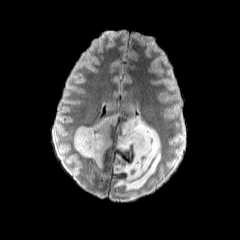
FLAIR MR image.
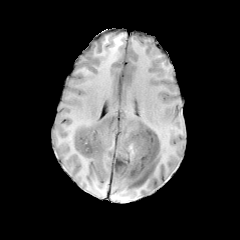
T1-weighted MR image of the same slice.
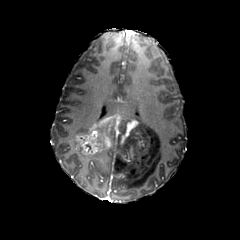
Post-contrast T1-weighted MRI.
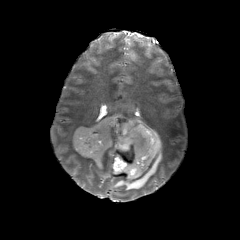
T2-weighted magnetic resonance of the same slice.
Head
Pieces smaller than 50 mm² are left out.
The 2 largest necrotic tumor core regions appear at box=[118, 119, 129, 143]; box=[109, 127, 115, 139]. 2 enhancing tumor regions are bounded by box=[122, 121, 137, 140]; box=[74, 114, 129, 157]. The 3 largest peritumoral edema regions appear at box=[75, 126, 89, 134]; box=[103, 100, 160, 190]; box=[92, 151, 105, 177].